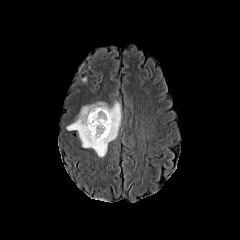
FLAIR MRI.
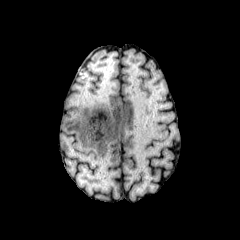
T1-weighted magnetic resonance.
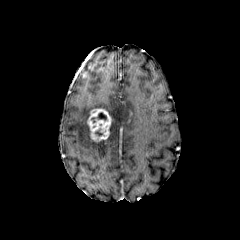
Post-contrast T1-weighted MR image.
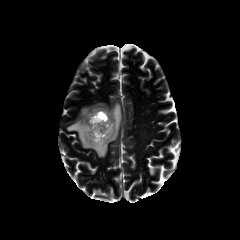
T2-weighted MR image.
Brain.
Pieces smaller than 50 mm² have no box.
necrotic tumor core: (97, 112, 106, 120)
peritumoral edema: (66, 101, 122, 157)
enhancing tumor: (87, 108, 111, 142)